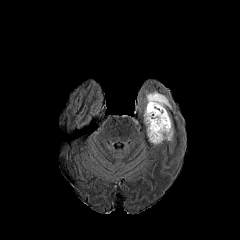
FLAIR MRI.
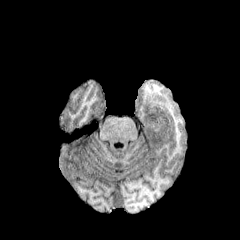
Same slice, T1-weighted MRI.
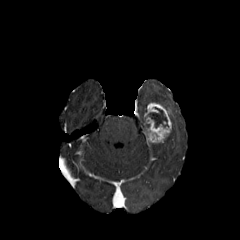
Post-contrast T1-weighted MRI of the same slice.
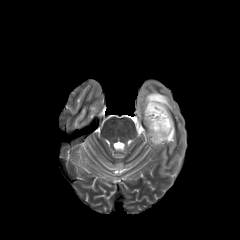
T2-weighted MR image.
240x240 px
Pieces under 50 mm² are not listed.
<segmentation>
  <peritumoral_edema>(left=137, top=81, right=177, bottom=114), (left=163, top=123, right=175, bottom=147)</peritumoral_edema>
  <necrotic_tumor_core>(left=149, top=107, right=168, bottom=127)</necrotic_tumor_core>
  <enhancing_tumor>(left=144, top=102, right=171, bottom=143)</enhancing_tumor>
</segmentation>